Axial plane | Slice 49 of 155
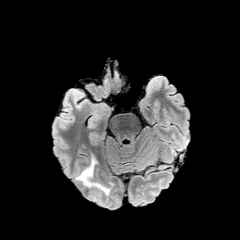
FLAIR MR image.
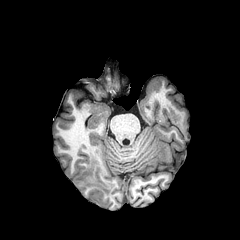
Same slice, T1-weighted magnetic resonance.
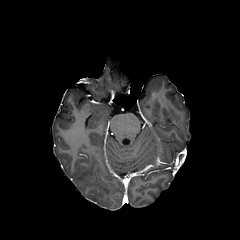
Post-contrast T1-weighted MR image.
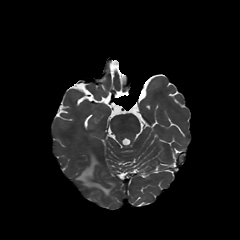
Same slice, T2-weighted MRI.
Findings:
- peritumoral edema: x1=74, y1=154, x2=114, y2=205